Head; 240x240; Slice 68 of 155
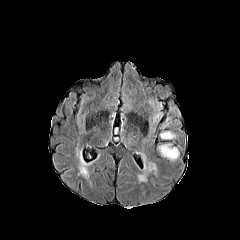
FLAIR MR image.
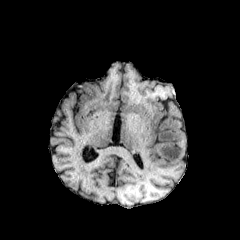
T1-weighted magnetic resonance.
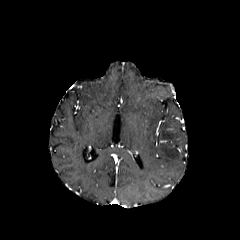
Post-contrast T1-weighted MR of the same slice.
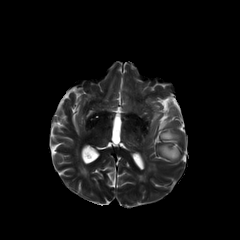
T2-weighted MR.
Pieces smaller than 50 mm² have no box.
peritumoral edema at (x1=158, y1=144, x2=179, y2=160), (x1=150, y1=105, x2=160, y2=136), (x1=160, y1=131, x2=179, y2=138)